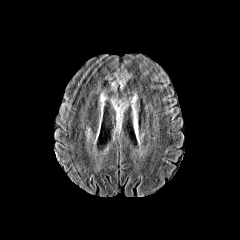
FLAIR MR image.
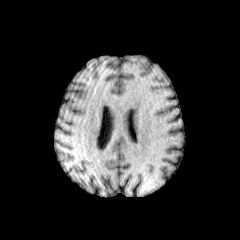
T1-weighted magnetic resonance.
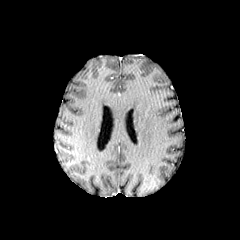
Post-contrast T1-weighted MR image of the same slice.
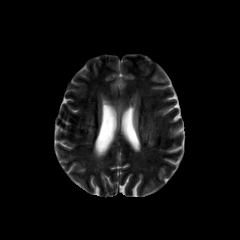
T2-weighted MRI of the same slice.
Axial view. Head.
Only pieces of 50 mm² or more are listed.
The 3 largest peritumoral edema regions are bounded by x1=100 y1=91 x2=107 y2=107, x1=110 y1=92 x2=138 y2=120, x1=104 y1=68 x2=131 y2=92.